FLAIR MR image.
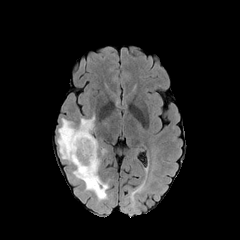
T1-weighted magnetic resonance.
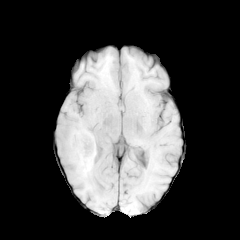
Post-contrast T1-weighted MR.
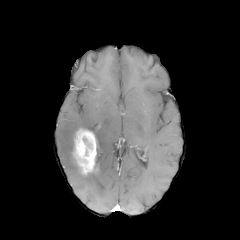
T2-weighted MR image.
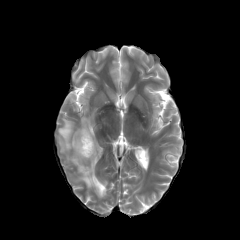
Axial slice; 240x240 px
The peritumoral edema appears at box=[57, 114, 108, 200]. The enhancing tumor is at box=[73, 128, 96, 174].